FLAIR MRI.
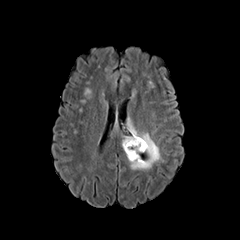
T1-weighted MR image.
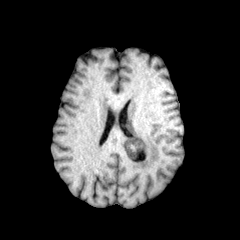
Post-contrast T1-weighted MRI.
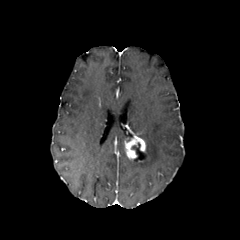
T2-weighted MR.
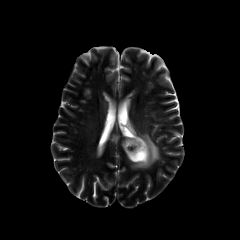
Brain.
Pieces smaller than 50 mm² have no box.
<segmentation>
  <peritumoral_edema>[x1=127, y1=121, x2=160, y2=169], [x1=121, y1=136, x2=130, y2=150]</peritumoral_edema>
  <enhancing_tumor>[x1=124, y1=135, x2=145, y2=159]</enhancing_tumor>
  <necrotic_tumor_core>[x1=131, y1=142, x2=140, y2=154]</necrotic_tumor_core>
</segmentation>